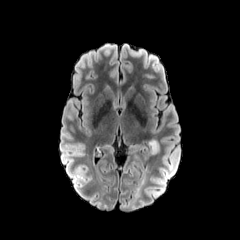
FLAIR magnetic resonance.
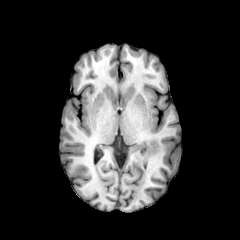
T1-weighted magnetic resonance.
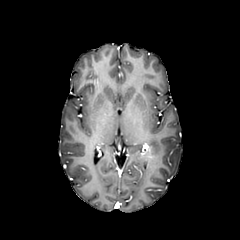
Post-contrast T1-weighted MR image of the same slice.
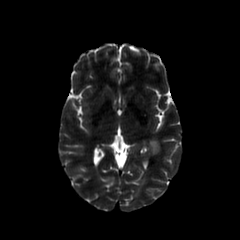
T2-weighted MR of the same slice.
Brain.
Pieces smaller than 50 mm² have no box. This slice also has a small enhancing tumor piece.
The largest peritumoral edema region is at left=148, top=139, right=159, bottom=155.